Slice 82 of 155. Axial view. Image width 240 mm, 1.00 mm slice spacing.
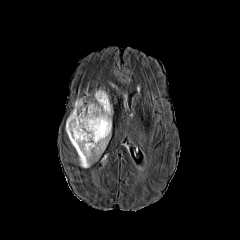
FLAIR magnetic resonance.
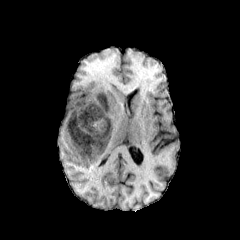
T1-weighted MR of the same slice.
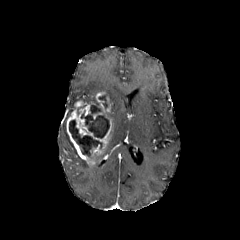
Post-contrast T1-weighted MR image.
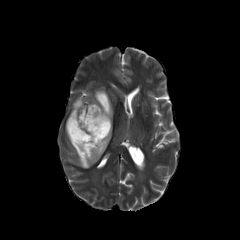
T2-weighted MR of the same slice.
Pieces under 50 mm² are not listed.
enhancing_tumor:
  - 66, 92, 111, 165
peritumoral_edema:
  - 79, 157, 89, 168
necrotic_tumor_core:
  - 69, 120, 102, 156
  - 99, 95, 107, 107
  - 81, 105, 109, 138